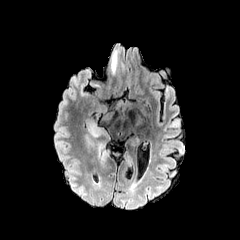
FLAIR MR.
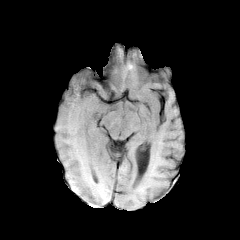
T1-weighted MRI.
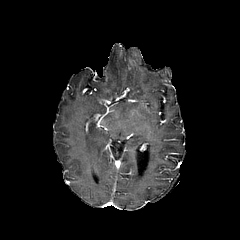
Same slice, post-contrast T1-weighted MRI.
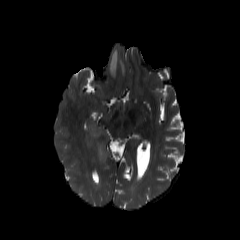
T2-weighted MR.
Axial plane.
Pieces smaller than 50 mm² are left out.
The largest peritumoral edema region appears at (left=110, top=50, right=118, bottom=75).